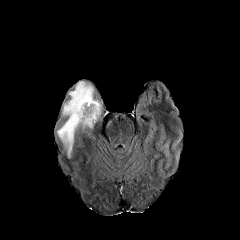
FLAIR MR image.
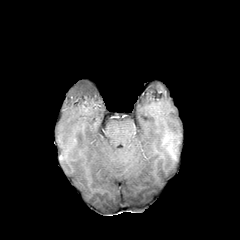
T1-weighted MR image of the same slice.
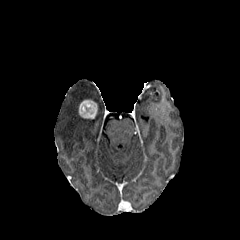
Same slice, post-contrast T1-weighted magnetic resonance.
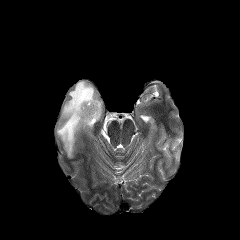
T2-weighted MR.
Brain. 240x240.
The peritumoral edema is bounded by box(56, 81, 102, 157). The enhancing tumor appears at box(79, 99, 97, 118).